Slice 35 of 155, Axial plane, 240x240 px, Brain
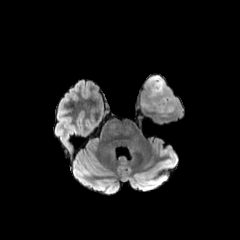
FLAIR MRI.
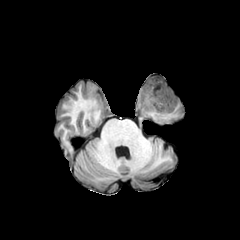
T1-weighted MRI.
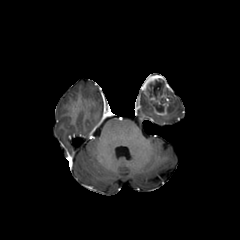
Post-contrast T1-weighted magnetic resonance.
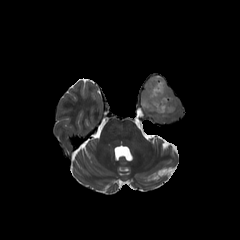
T2-weighted MRI.
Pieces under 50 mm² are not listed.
<segmentation>
  <enhancing_tumor>{"x1": 142, "y1": 75, "x2": 173, "y2": 115}</enhancing_tumor>
  <necrotic_tumor_core>{"x1": 147, "y1": 79, "x2": 164, "y2": 99}, {"x1": 151, "y1": 98, "x2": 165, "y2": 112}</necrotic_tumor_core>
  <peritumoral_edema>{"x1": 140, "y1": 92, "x2": 152, "y2": 111}, {"x1": 167, "y1": 95, "x2": 178, "y2": 113}</peritumoral_edema>
</segmentation>